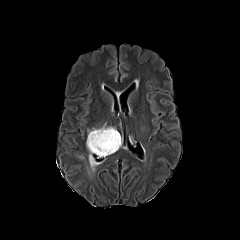
FLAIR magnetic resonance.
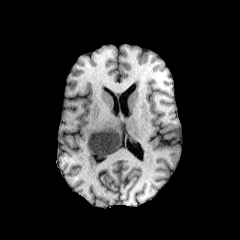
T1-weighted MR.
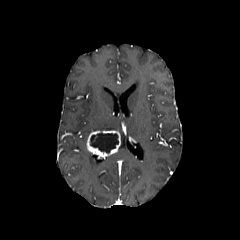
Post-contrast T1-weighted MRI.
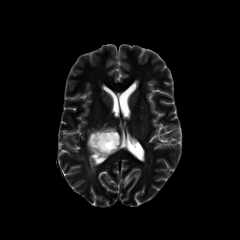
T2-weighted MRI of the same slice.
Head. Axial slice.
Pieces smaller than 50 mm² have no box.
necrotic tumor core at (90,133,118,153)
enhancing tumor at (86,130,120,159)
peritumoral edema at (87,123,115,136), (88,152,96,175)